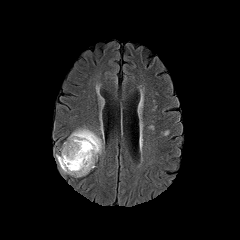
FLAIR MRI.
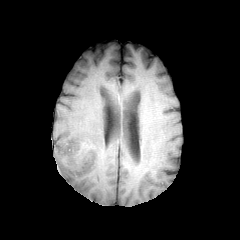
T1-weighted MR image of the same slice.
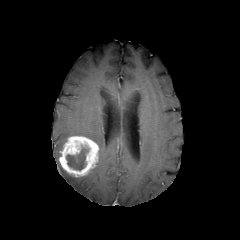
Post-contrast T1-weighted MR.
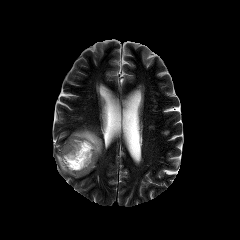
T2-weighted magnetic resonance.
240x240; Brain
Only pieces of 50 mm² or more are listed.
The necrotic tumor core lies within (66, 147, 88, 170). The 2 largest peritumoral edema regions are bounded by (55, 153, 67, 173), (69, 127, 103, 155). The enhancing tumor is at (59, 136, 98, 177).